Image width 240 mm, 1.00 mm slice spacing | Axial plane | Brain
FLAIR magnetic resonance.
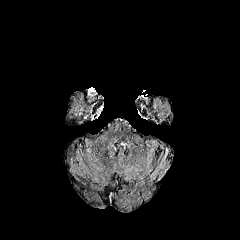
T1-weighted magnetic resonance.
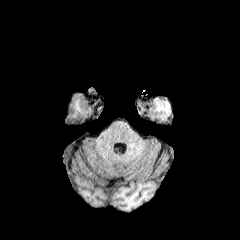
Post-contrast T1-weighted MRI.
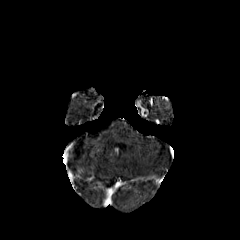
T2-weighted MR.
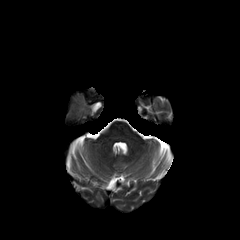
The peritumoral edema is at <bbox>71, 101, 89, 111</bbox>.